FLAIR MR image.
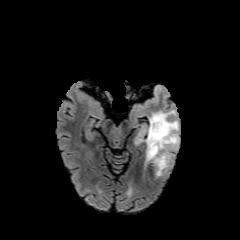
T1-weighted MR.
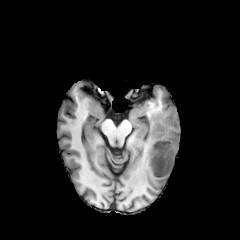
Post-contrast T1-weighted MR.
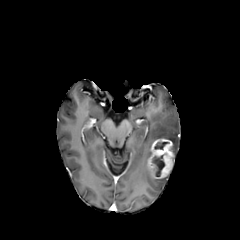
T2-weighted MRI.
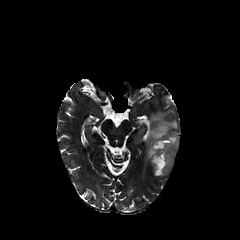
Brain
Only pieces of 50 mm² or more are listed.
peritumoral edema = <box>145,110,179,164</box>
enhancing tumor = <box>148,139,174,178</box>
necrotic tumor core = <box>152,155,164,176</box>, <box>154,142,168,149</box>